Axial view
FLAIR MR image.
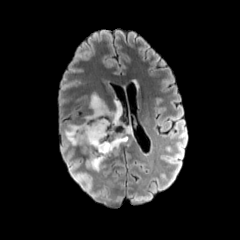
T1-weighted MR.
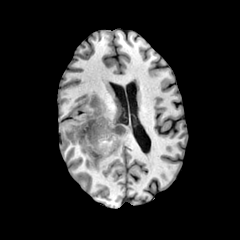
Post-contrast T1-weighted MR image.
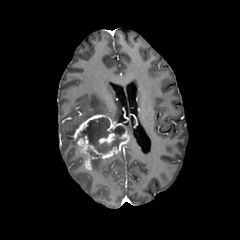
T2-weighted magnetic resonance.
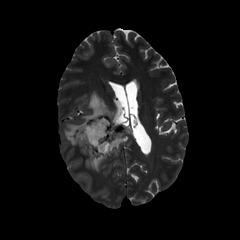
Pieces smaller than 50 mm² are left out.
enhancing tumor at [99,133,115,143], [72,114,128,170]
necrotic tumor core at [87,150,100,157], [76,117,125,153]
peritumoral edema at [91,159,104,171], [64,124,79,145], [84,93,121,120]